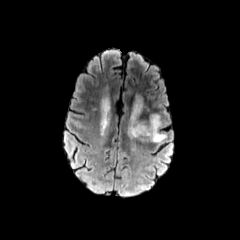
FLAIR MRI.
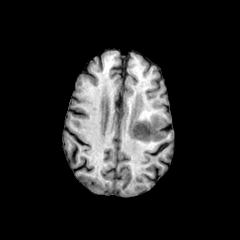
T1-weighted MRI of the same slice.
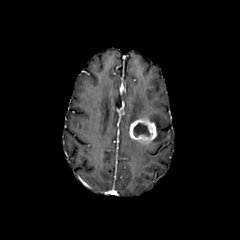
Post-contrast T1-weighted MR image.
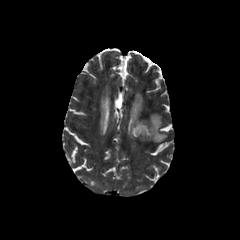
T2-weighted MR.
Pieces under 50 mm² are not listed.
<segmentation>
  <peritumoral_edema>bbox=[148, 114, 166, 142]; bbox=[130, 97, 142, 124]</peritumoral_edema>
  <necrotic_tumor_core>bbox=[133, 123, 149, 136]</necrotic_tumor_core>
  <enhancing_tumor>bbox=[129, 117, 156, 143]</enhancing_tumor>
</segmentation>